Slice 66/155. Brain.
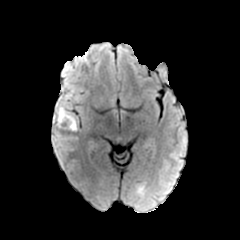
FLAIR MRI.
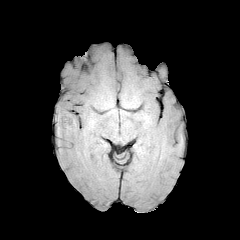
Same slice, T1-weighted MR image.
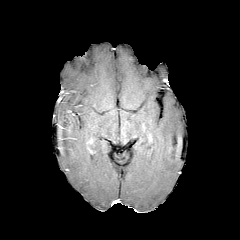
Post-contrast T1-weighted MR.
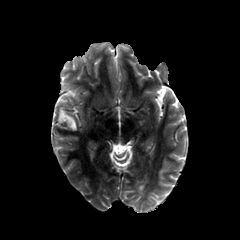
T2-weighted MR image.
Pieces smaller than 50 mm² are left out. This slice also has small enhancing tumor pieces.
{
  "peritumoral_edema": [
    "bbox(56, 104, 77, 130)"
  ]
}